FLAIR magnetic resonance.
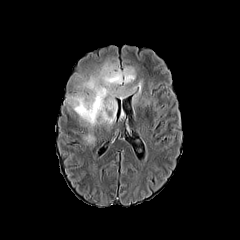
T1-weighted MR.
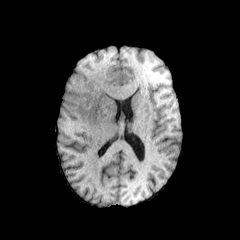
Post-contrast T1-weighted MRI.
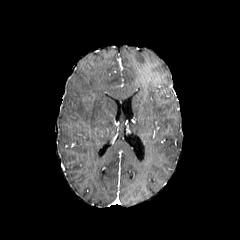
T2-weighted MR image.
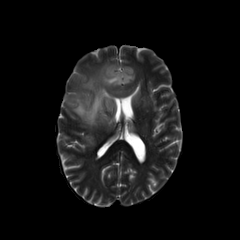
Axial slice
2 peritumoral edema regions are bounded by left=134, top=81, right=142, bottom=103; left=67, top=63, right=136, bottom=126.